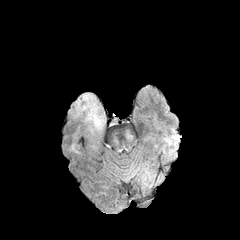
FLAIR magnetic resonance.
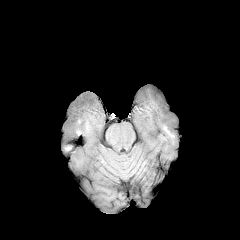
T1-weighted MRI.
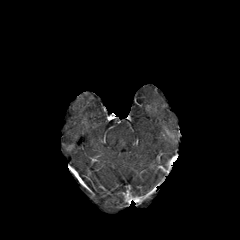
Post-contrast T1-weighted MR.
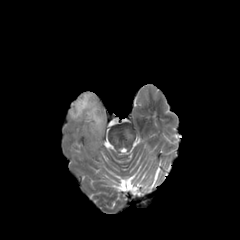
T2-weighted MRI of the same slice.
Brain
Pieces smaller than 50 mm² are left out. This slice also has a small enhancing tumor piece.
peritumoral edema = bbox(73, 93, 101, 126); bbox(72, 126, 81, 153)